FLAIR magnetic resonance.
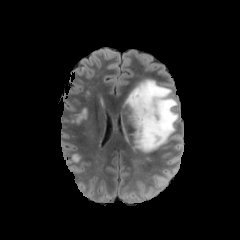
T1-weighted MR image.
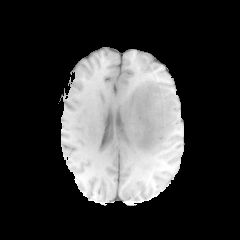
Post-contrast T1-weighted MR.
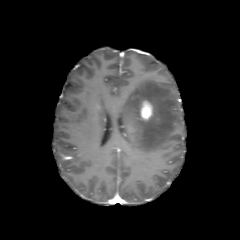
T2-weighted magnetic resonance.
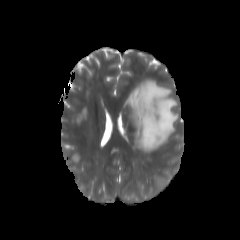
240x240 px.
The enhancing tumor is located at 140:100:153:120. The peritumoral edema is located at 125:79:178:152.